Head; Axial slice; Slice index 78
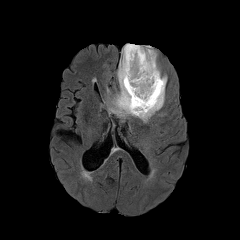
FLAIR magnetic resonance.
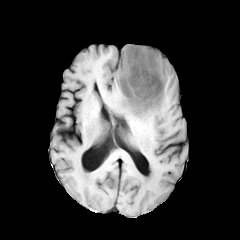
Same slice, T1-weighted MR.
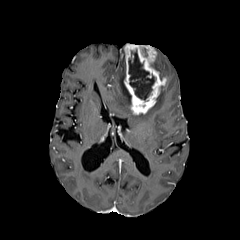
Same slice, post-contrast T1-weighted magnetic resonance.
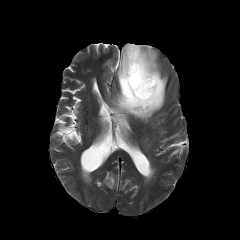
T2-weighted MRI of the same slice.
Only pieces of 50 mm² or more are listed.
peritumoral edema = {"x1": 109, "y1": 48, "x2": 165, "y2": 122}, {"x1": 154, "y1": 57, "x2": 167, "y2": 78}
enhancing tumor = {"x1": 124, "y1": 44, "x2": 166, "y2": 114}
necrotic tumor core = {"x1": 128, "y1": 50, "x2": 155, "y2": 99}